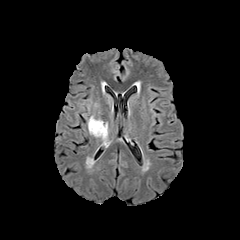
FLAIR magnetic resonance.
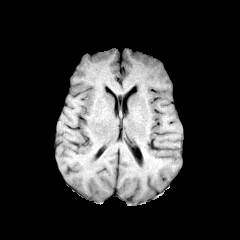
Same slice, T1-weighted MR image.
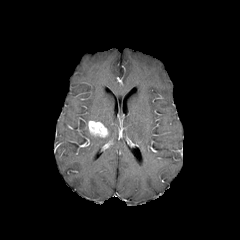
Post-contrast T1-weighted magnetic resonance.
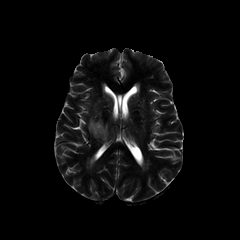
T2-weighted MRI.
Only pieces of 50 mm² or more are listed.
Annotated regions:
* enhancing tumor: [x1=88, y1=121, x2=108, y2=137]
* peritumoral edema: [x1=88, y1=116, x2=103, y2=123]